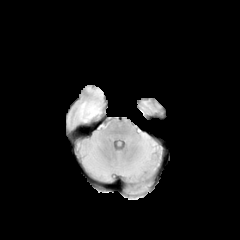
FLAIR MR image.
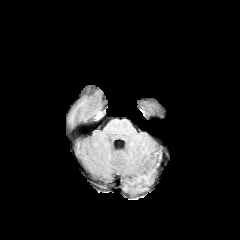
T1-weighted MRI.
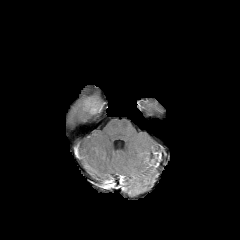
Post-contrast T1-weighted MR image.
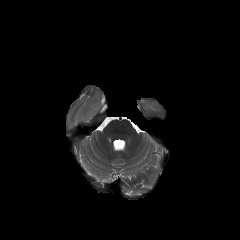
Same slice, T2-weighted MRI.
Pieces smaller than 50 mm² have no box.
The enhancing tumor lies within [x1=80, y1=95, x2=103, y2=122]. The largest peritumoral edema region is located at [x1=67, y1=101, x2=82, y2=126].